FLAIR MR.
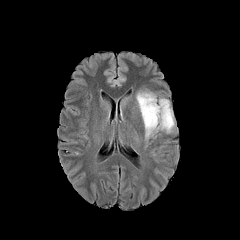
T1-weighted MRI.
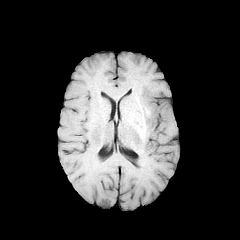
Post-contrast T1-weighted MRI.
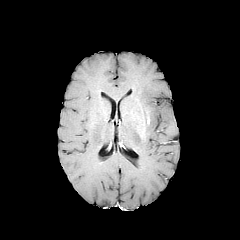
T2-weighted MR.
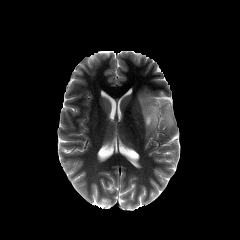
Brain. Image size 240x240.
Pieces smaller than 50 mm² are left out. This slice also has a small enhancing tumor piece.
peritumoral_edema:
  - (137, 92, 174, 136)